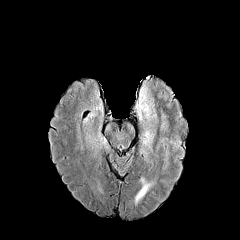
FLAIR MRI.
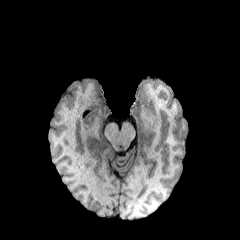
T1-weighted magnetic resonance.
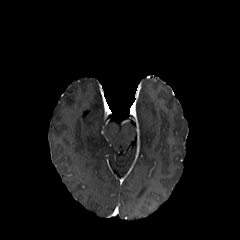
Same slice, post-contrast T1-weighted MRI.
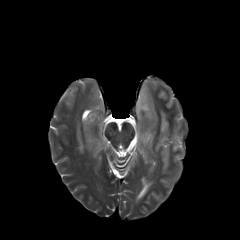
T2-weighted MRI of the same slice.
Brain. Axial slice. Image size 240x240.
peritumoral_edema:
  - x1=142, y1=130, x2=153, y2=148
  - x1=136, y1=83, x2=155, y2=120